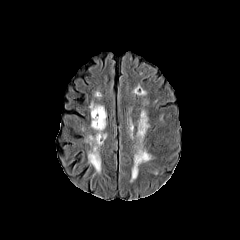
FLAIR MR image.
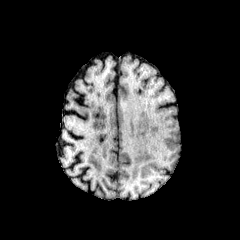
T1-weighted magnetic resonance.
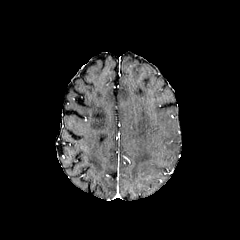
Post-contrast T1-weighted MRI.
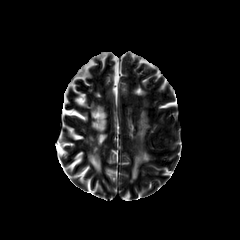
Same slice, T2-weighted MR image.
2 peritumoral edema regions appear at left=137, top=111, right=148, bottom=142; left=131, top=145, right=151, bottom=180.